Image width 240 mm. Brain. 240x240 px. Slice 76 of 155.
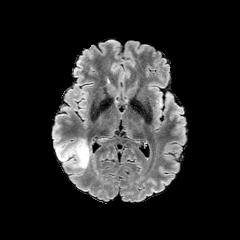
FLAIR MRI.
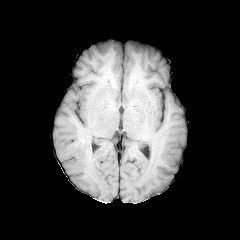
T1-weighted magnetic resonance of the same slice.
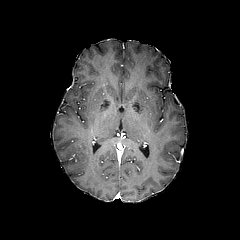
Post-contrast T1-weighted MR.
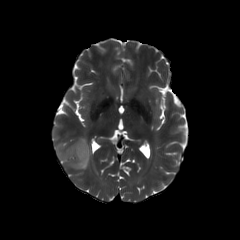
Same slice, T2-weighted MR image.
peritumoral edema at bbox=[57, 139, 91, 169]